Slice index 78. Axial slice. Image width 240 mm. Brain.
FLAIR magnetic resonance.
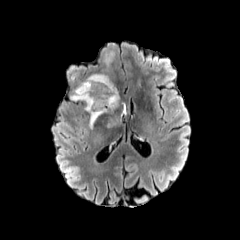
T1-weighted MRI.
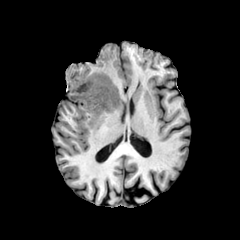
Post-contrast T1-weighted MR image.
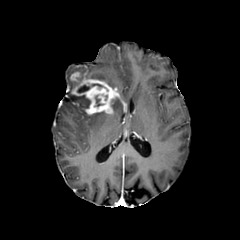
T2-weighted MR.
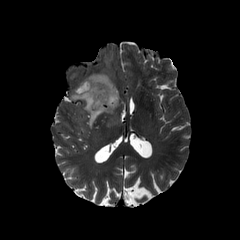
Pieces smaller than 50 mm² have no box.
- enhancing tumor: [70, 72, 120, 114]
- necrotic tumor core: [77, 85, 89, 92]
- peritumoral edema: [70, 94, 90, 109], [112, 98, 120, 109], [105, 53, 111, 63], [89, 73, 114, 87], [89, 111, 105, 128], [103, 114, 120, 128]